Slice 93/155. Head.
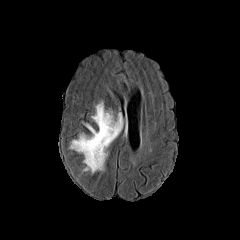
FLAIR MR image.
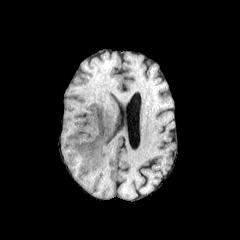
T1-weighted MR image of the same slice.
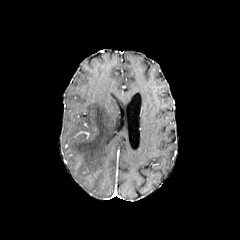
Same slice, post-contrast T1-weighted magnetic resonance.
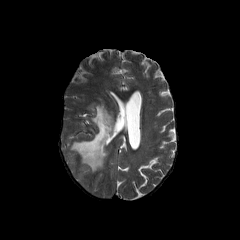
T2-weighted MR image of the same slice.
Annotated regions:
- peritumoral edema: (70, 103, 122, 172)